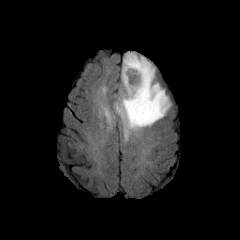
FLAIR MRI.
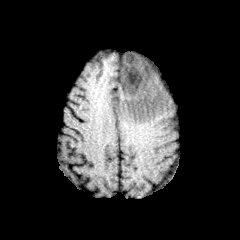
T1-weighted magnetic resonance.
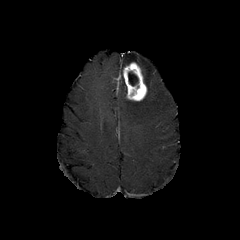
Post-contrast T1-weighted MR image of the same slice.
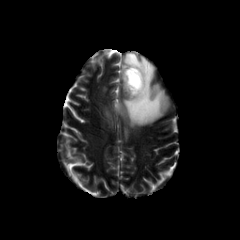
T2-weighted MR image.
Image size 240x240 | Axial slice
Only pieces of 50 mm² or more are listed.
peritumoral_edema:
  - 114,53,170,129
enhancing_tumor:
  - 122,62,147,101
necrotic_tumor_core:
  - 128,72,137,85